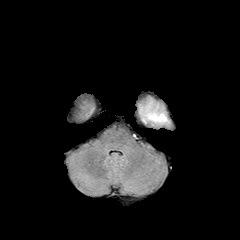
FLAIR magnetic resonance.
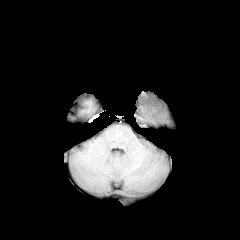
T1-weighted MR image.
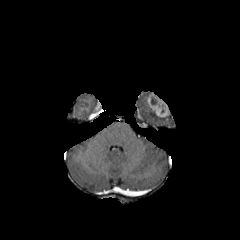
Post-contrast T1-weighted MR image.
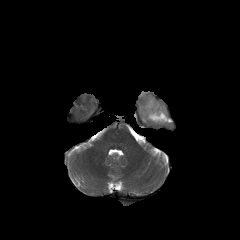
T2-weighted MR of the same slice.
240x240 px
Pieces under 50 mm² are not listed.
Segmented structures:
- necrotic tumor core: [148, 106, 167, 120]
- enhancing tumor: [145, 93, 169, 117]
- peritumoral edema: [139, 104, 169, 124]